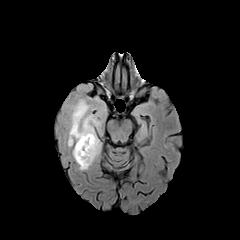
FLAIR MR image.
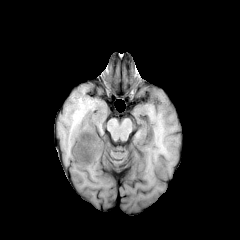
Same slice, T1-weighted magnetic resonance.
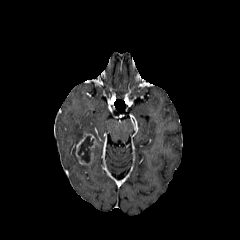
Post-contrast T1-weighted MR of the same slice.
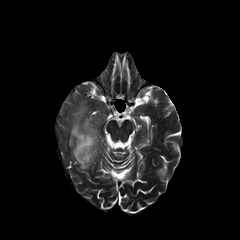
T2-weighted magnetic resonance.
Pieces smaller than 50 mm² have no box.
enhancing tumor: bounding box [75,133,97,165]
peritumoral edema: bounding box [72,146,91,170], [55,84,108,161]
necrotic tumor core: bounding box [78,136,93,163]